Slice index 72 | Head | 240x240
FLAIR MR image.
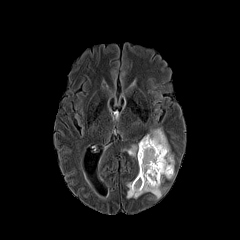
T1-weighted MRI.
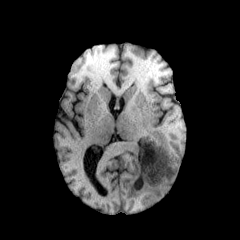
Post-contrast T1-weighted MR.
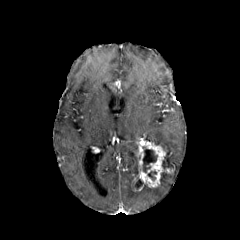
T2-weighted MR image.
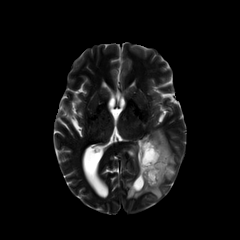
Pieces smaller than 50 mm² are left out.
enhancing tumor: (x1=133, y1=138, x2=173, y2=191) | necrotic tumor core: (x1=143, y1=147, x2=157, y2=172), (x1=148, y1=171, x2=156, y2=180), (x1=135, y1=179, x2=143, y2=188) | peritumoral edema: (x1=127, y1=180, x2=166, y2=199), (x1=127, y1=144, x2=137, y2=160), (x1=144, y1=128, x2=174, y2=182)